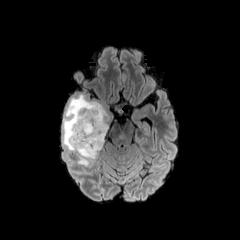
FLAIR MR image.
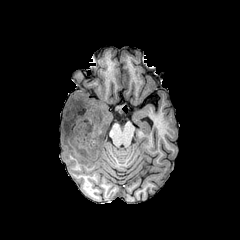
T1-weighted MRI of the same slice.
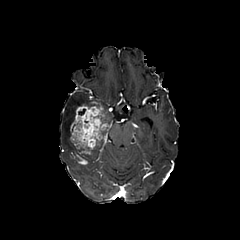
Post-contrast T1-weighted MR of the same slice.
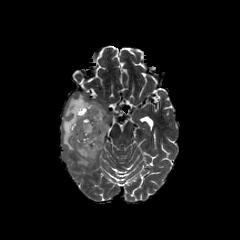
T2-weighted magnetic resonance.
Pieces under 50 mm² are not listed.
Annotated regions:
• necrotic tumor core: [90, 115, 105, 126], [74, 140, 96, 160]
• peritumoral edema: [82, 141, 103, 166], [62, 93, 102, 161]
• enhancing tumor: [69, 102, 108, 164]